Axial slice | Brain
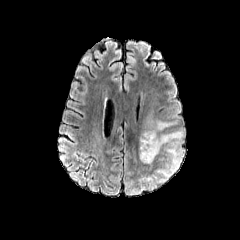
FLAIR MR.
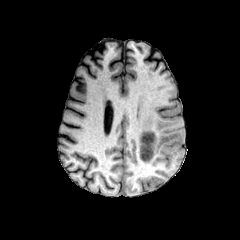
T1-weighted magnetic resonance.
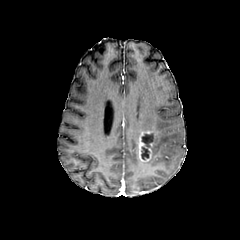
Post-contrast T1-weighted magnetic resonance of the same slice.
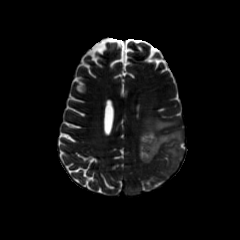
T2-weighted MR image of the same slice.
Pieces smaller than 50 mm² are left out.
The necrotic tumor core is bounded by <bbox>141, 133, 153, 159</bbox>. The enhancing tumor lies within <bbox>138, 129, 157, 161</bbox>. The largest peritumoral edema region appears at <bbox>143, 115, 184, 171</bbox>.